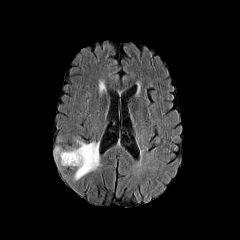
FLAIR magnetic resonance.
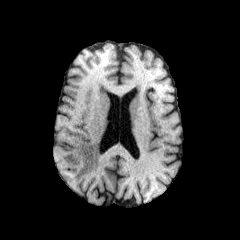
T1-weighted magnetic resonance.
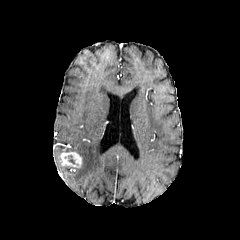
Same slice, post-contrast T1-weighted MR image.
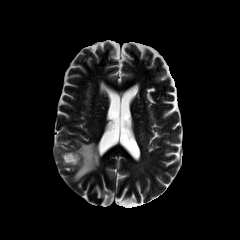
T2-weighted MRI.
Head
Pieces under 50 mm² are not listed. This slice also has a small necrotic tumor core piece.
{
  "enhancing_tumor": [
    "l=60, t=152, r=82, b=167"
  ],
  "peritumoral_edema": [
    "l=55, t=147, r=62, b=158",
    "l=67, t=139, r=99, b=180"
  ]
}